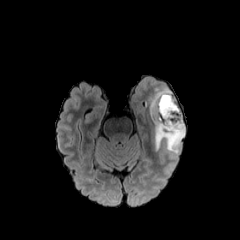
FLAIR MR.
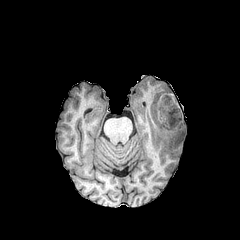
T1-weighted MR image of the same slice.
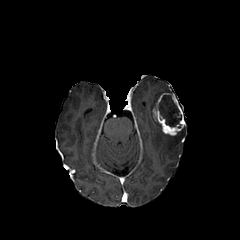
Same slice, post-contrast T1-weighted MR.
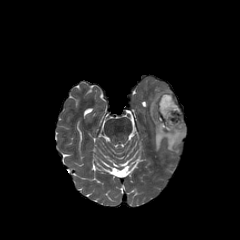
T2-weighted MR.
240x240 px
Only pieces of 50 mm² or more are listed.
peritumoral edema: x1=149 y1=88 x2=185 y2=154 | enhancing tumor: x1=152 y1=93 x2=185 y2=135 | necrotic tumor core: x1=159 y1=95 x2=181 y2=126